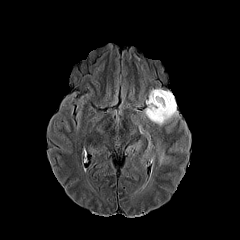
FLAIR MR image.
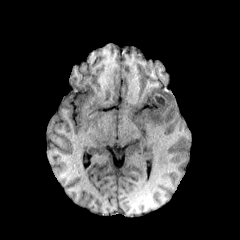
T1-weighted MR of the same slice.
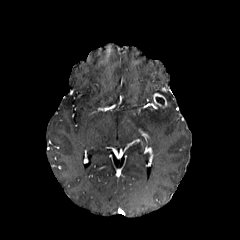
Post-contrast T1-weighted MRI.
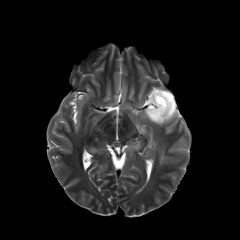
Same slice, T2-weighted MR image.
Brain; 240x240 px
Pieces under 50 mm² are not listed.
peritumoral edema: (144,88,177,125) | enhancing tumor: (149,93,167,108) | necrotic tumor core: (155,97,164,105)